Image width 240 mm. 240x240 px.
FLAIR magnetic resonance.
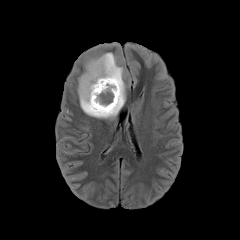
T1-weighted MRI.
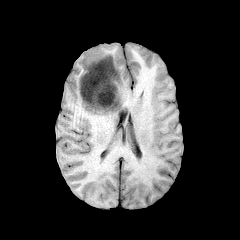
Post-contrast T1-weighted MRI.
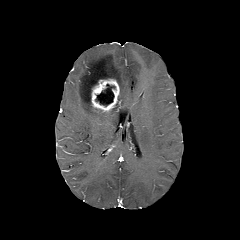
T2-weighted MRI.
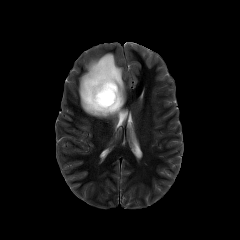
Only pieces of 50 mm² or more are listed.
The largest enhancing tumor region is bounded by l=91, t=78, r=119, b=113. The peritumoral edema appears at l=78, t=52, r=126, b=119. The largest necrotic tumor core region is at l=95, t=84, r=115, b=106.